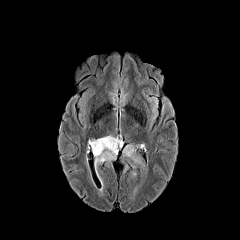
FLAIR MRI.
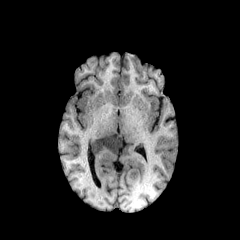
T1-weighted MRI.
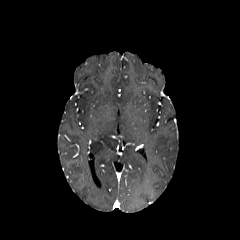
Post-contrast T1-weighted MRI of the same slice.
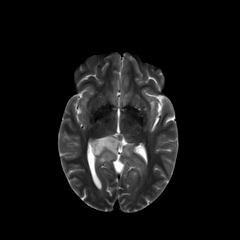
Same slice, T2-weighted MR.
Axial view
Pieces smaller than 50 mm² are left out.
peritumoral edema: bbox(90, 136, 120, 168); bbox(123, 145, 144, 168)